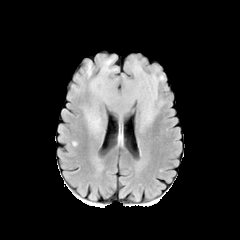
FLAIR MRI.
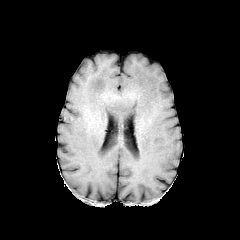
T1-weighted MR image of the same slice.
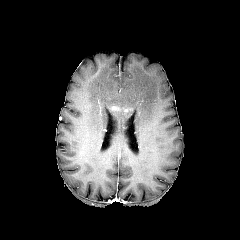
Post-contrast T1-weighted magnetic resonance of the same slice.
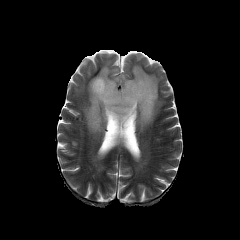
T2-weighted MR.
Head | Axial plane
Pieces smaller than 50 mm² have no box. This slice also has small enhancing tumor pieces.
peritumoral edema — x1=85 y1=63 x2=91 y2=76, x1=85 y1=57 x2=164 y2=132